240x240, Head
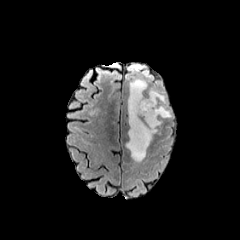
FLAIR MRI.
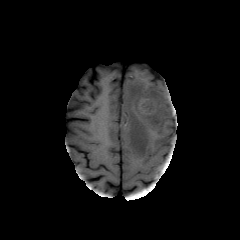
T1-weighted MR image.
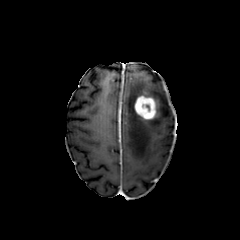
Same slice, post-contrast T1-weighted MRI.
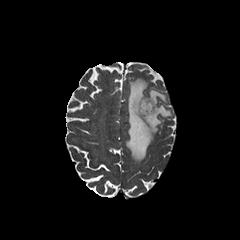
T2-weighted MR.
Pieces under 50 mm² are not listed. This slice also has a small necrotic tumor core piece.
peritumoral_edema:
  - region(126, 78, 171, 162)
enhancing_tumor:
  - region(134, 95, 156, 119)